Head; Image covers 240 mm x 240 mm; Axial view
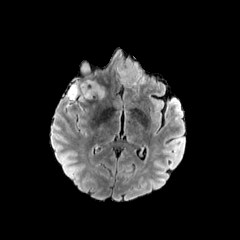
FLAIR magnetic resonance.
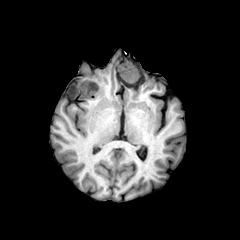
T1-weighted MRI.
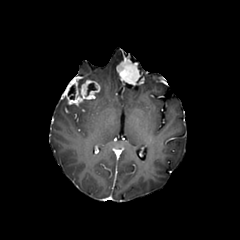
Post-contrast T1-weighted MR image.
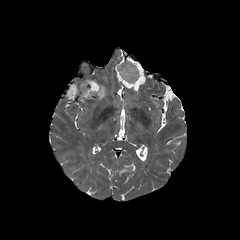
T2-weighted magnetic resonance.
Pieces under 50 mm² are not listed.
Findings:
* necrotic tumor core: [x1=68, y1=85, x2=75, y2=99], [x1=87, y1=83, x2=96, y2=95]
* peritumoral edema: [x1=96, y1=86, x2=104, y2=98]
* enhancing tumor: [x1=64, y1=78, x2=100, y2=105], [x1=116, y1=59, x2=144, y2=84]